FLAIR MR.
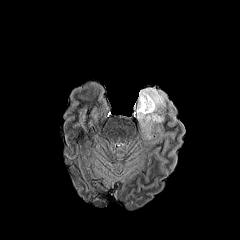
T1-weighted MR image.
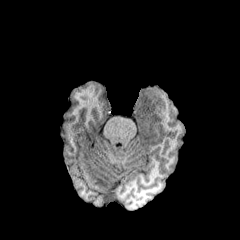
Post-contrast T1-weighted magnetic resonance.
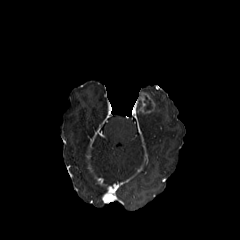
T2-weighted MRI.
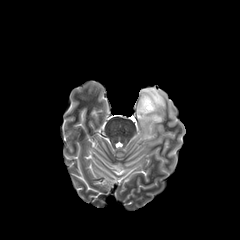
Brain | 240x240 px
{"peritumoral_edema": ["region(136, 88, 167, 138)"], "necrotic_tumor_core": ["region(144, 96, 152, 111)"], "enhancing_tumor": ["region(137, 92, 155, 113)"]}